240x240.
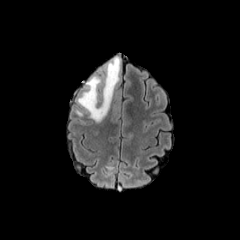
FLAIR MRI.
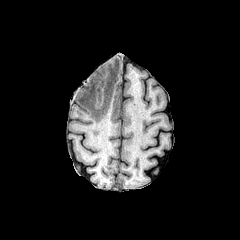
Same slice, T1-weighted MR.
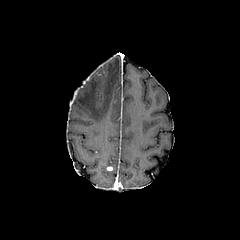
Same slice, post-contrast T1-weighted MRI.
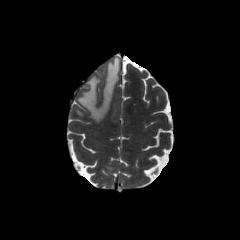
T2-weighted MRI.
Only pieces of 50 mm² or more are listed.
The largest peritumoral edema region appears at <bbox>77, 57, 120, 122</bbox>.